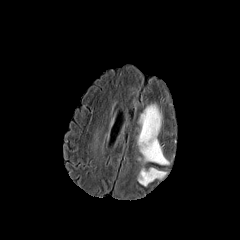
FLAIR MRI.
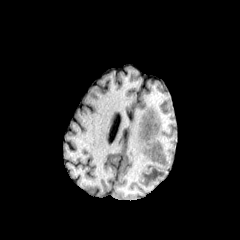
Same slice, T1-weighted MRI.
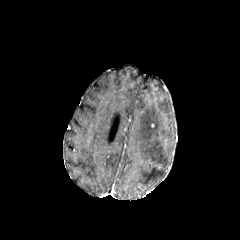
Post-contrast T1-weighted magnetic resonance.
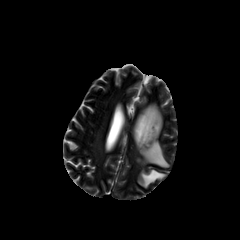
T2-weighted MRI of the same slice.
Brain. 240x240.
2 peritumoral edema regions appear at (138, 168, 166, 186), (137, 104, 169, 165).